FLAIR MRI.
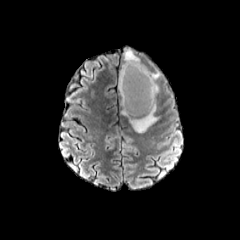
T1-weighted magnetic resonance.
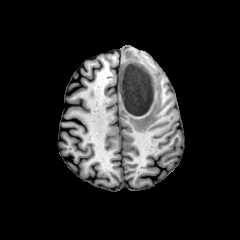
Post-contrast T1-weighted magnetic resonance.
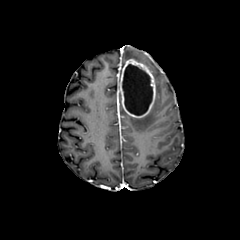
T2-weighted MR image.
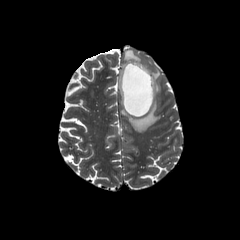
Brain
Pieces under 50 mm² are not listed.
Findings:
• necrotic tumor core: 122, 64, 152, 115
• enhancing tumor: 119, 59, 155, 117
• peritumoral edema: 124, 49, 140, 62; 121, 99, 159, 132; 152, 69, 161, 81